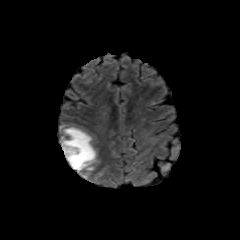
FLAIR MR image.
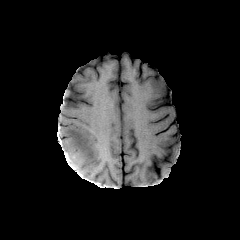
Same slice, T1-weighted MR.
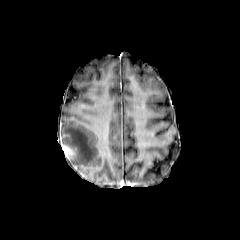
Post-contrast T1-weighted magnetic resonance of the same slice.
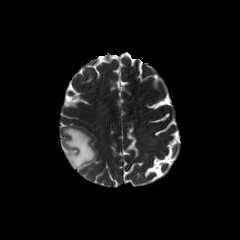
Same slice, T2-weighted magnetic resonance.
Image size 240x240; Head
The peritumoral edema lies within 61,126,97,178. The enhancing tumor appears at 61,144,75,159.